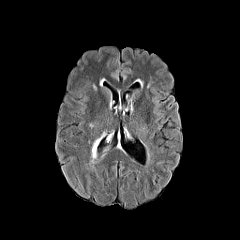
FLAIR magnetic resonance.
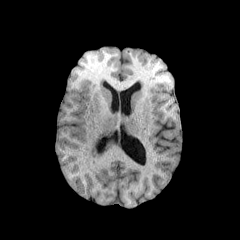
T1-weighted magnetic resonance of the same slice.
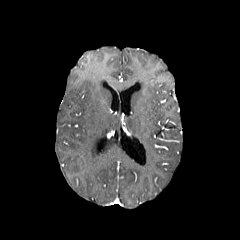
Same slice, post-contrast T1-weighted magnetic resonance.
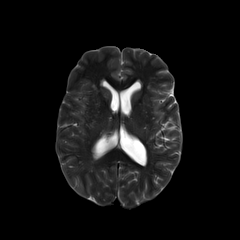
T2-weighted MR.
Axial view | Head
peritumoral edema: 92:139:99:158